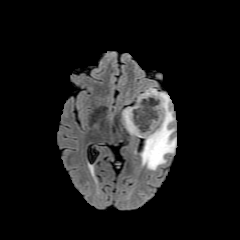
FLAIR magnetic resonance.
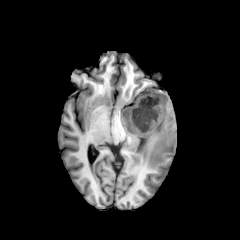
T1-weighted MR image.
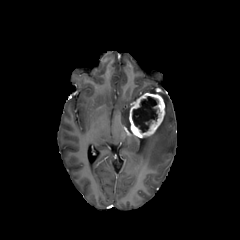
Post-contrast T1-weighted magnetic resonance.
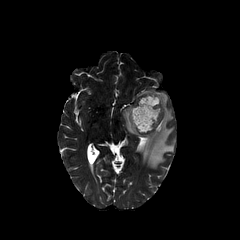
T2-weighted MR.
Axial plane. Brain.
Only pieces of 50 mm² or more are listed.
Annotated regions:
* peritumoral edema: [x1=122, y1=107, x2=132, y2=134], [x1=141, y1=88, x2=176, y2=170]
* enhancing tumor: [x1=129, y1=92, x2=164, y2=137]
* necrotic tumor core: [x1=132, y1=96, x2=157, y2=132]